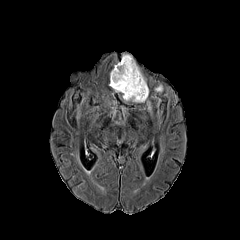
FLAIR MR.
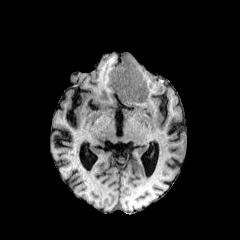
T1-weighted magnetic resonance.
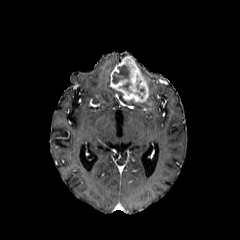
Post-contrast T1-weighted magnetic resonance of the same slice.
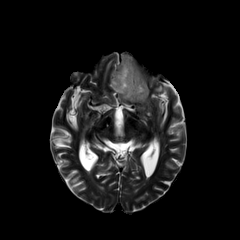
Same slice, T2-weighted MR image.
Image size 240x240. Axial plane.
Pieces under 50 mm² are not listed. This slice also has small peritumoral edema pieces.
Annotated regions:
* enhancing tumor: bbox=[110, 55, 148, 102]
* necrotic tumor core: bbox=[112, 65, 128, 83]